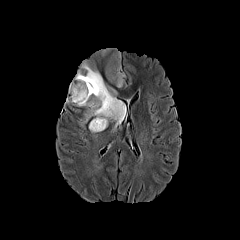
FLAIR magnetic resonance.
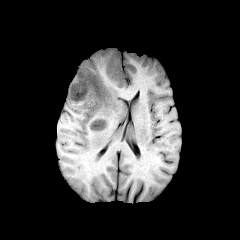
T1-weighted MR image of the same slice.
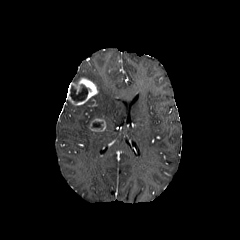
Post-contrast T1-weighted MR.
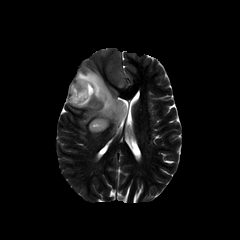
T2-weighted magnetic resonance.
240x240 px | Axial view
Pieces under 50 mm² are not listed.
necrotic tumor core: [92, 122, 102, 128], [70, 85, 92, 102]
enhancing tumor: [66, 77, 98, 105], [89, 118, 106, 132]
peritumoral edema: [74, 48, 126, 129]